FLAIR magnetic resonance.
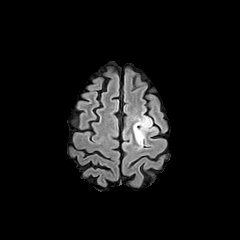
T1-weighted MRI.
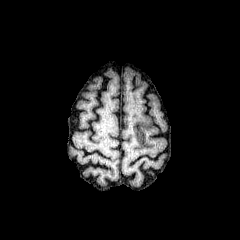
Post-contrast T1-weighted magnetic resonance.
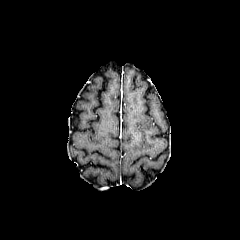
T2-weighted MRI.
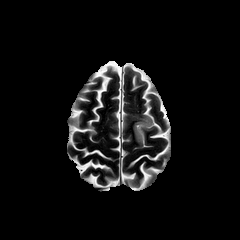
Brain | Image size 240x240
Annotated regions:
* peritumoral edema: box=[133, 113, 155, 148]